240x240 px | Slice 22/155 | Brain
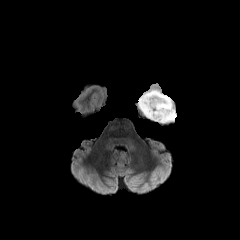
FLAIR MR image.
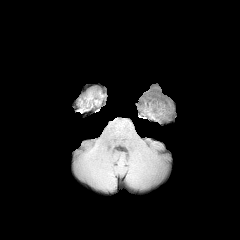
T1-weighted MRI.
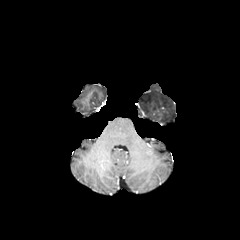
Post-contrast T1-weighted MR.
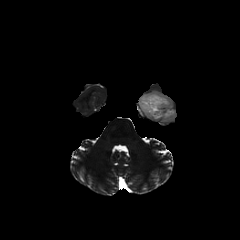
T2-weighted MRI.
Annotated regions:
• peritumoral edema: 138, 89, 176, 122